Axial view; 240x240
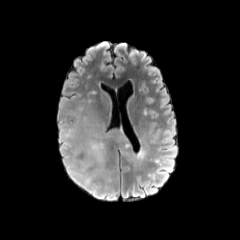
FLAIR MR.
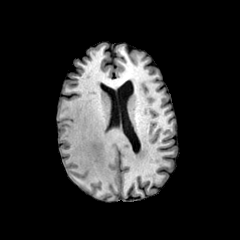
Same slice, T1-weighted MR image.
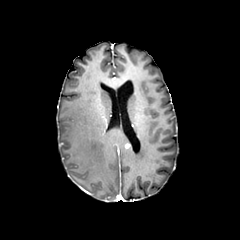
Post-contrast T1-weighted MR of the same slice.
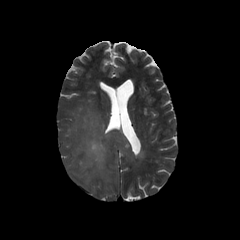
T2-weighted magnetic resonance.
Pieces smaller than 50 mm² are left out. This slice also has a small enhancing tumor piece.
<segmentation>
  <peritumoral_edema>(75, 129, 109, 183), (66, 129, 76, 136)</peritumoral_edema>
</segmentation>